240x240 px; Axial slice
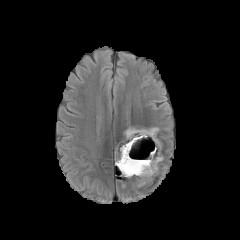
FLAIR MR image.
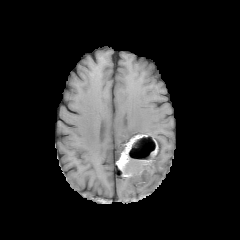
T1-weighted MR.
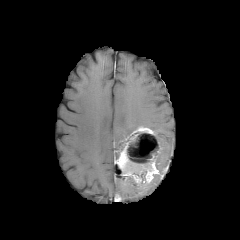
Post-contrast T1-weighted magnetic resonance.
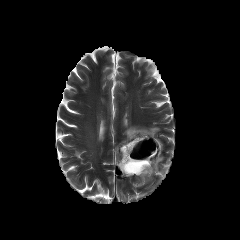
T2-weighted MR image.
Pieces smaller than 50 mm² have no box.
Annotated regions:
- necrotic tumor core: l=125, t=132, r=159, b=175
- enhancing tumor: l=116, t=126, r=158, b=186
- peritumoral edema: l=156, t=147, r=162, b=169; l=125, t=127, r=136, b=137